Head | Image size 240x240 | Axial slice | Slice 74/155
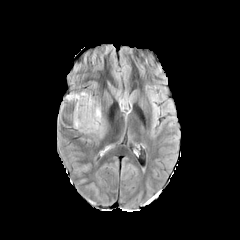
FLAIR MR.
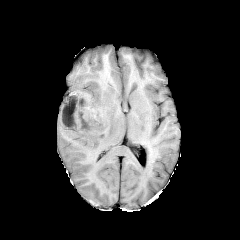
T1-weighted MR.
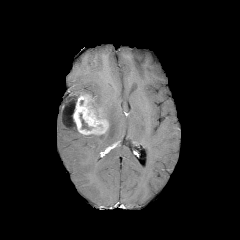
Post-contrast T1-weighted MR.
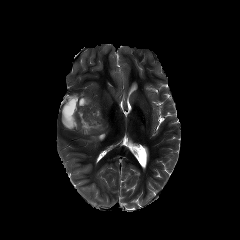
T2-weighted MR image.
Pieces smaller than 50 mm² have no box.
The 2 largest necrotic tumor core regions are located at rect(80, 113, 91, 129); rect(60, 99, 76, 127). The 2 largest peritumoral edema regions are located at rect(65, 92, 87, 98); rect(91, 99, 107, 117). The enhancing tumor is located at rect(59, 95, 108, 134).